FLAIR MR image.
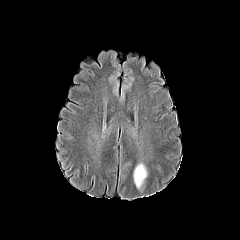
T1-weighted MR.
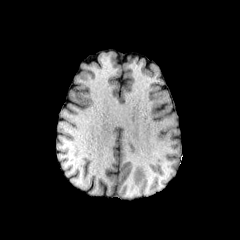
Post-contrast T1-weighted MR.
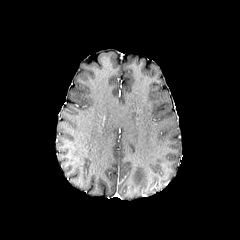
T2-weighted magnetic resonance.
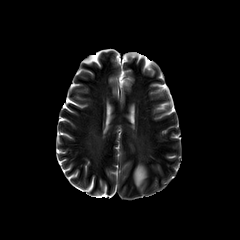
Head, Axial view
{
  "peritumoral_edema": [
    "l=133, t=163, r=147, b=188"
  ]
}